FLAIR MR.
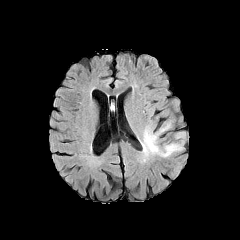
T1-weighted MR.
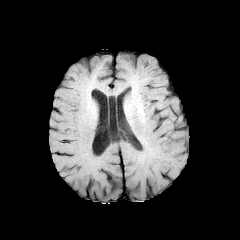
Post-contrast T1-weighted MRI.
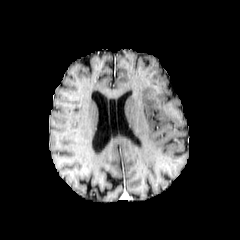
T2-weighted MRI.
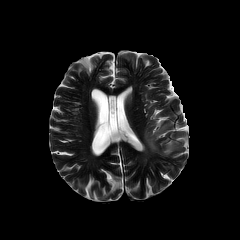
Axial plane. Head. 240x240.
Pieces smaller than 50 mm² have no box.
peritumoral edema: [143, 129, 158, 152], [161, 144, 178, 155]